Head
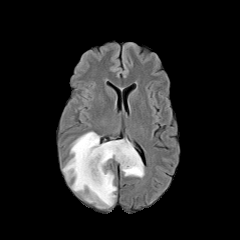
FLAIR magnetic resonance.
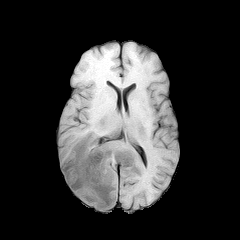
T1-weighted MR image.
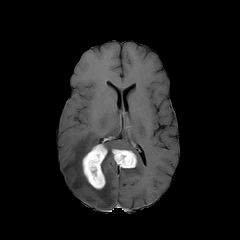
Post-contrast T1-weighted MRI.
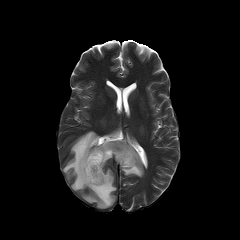
Same slice, T2-weighted magnetic resonance.
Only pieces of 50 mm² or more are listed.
necrotic_tumor_core:
  - rect(89, 158, 98, 176)
  - rect(121, 155, 131, 164)
peritumoral_edema:
  - rect(62, 131, 144, 208)
enhancing_tumor:
  - rect(112, 149, 137, 168)
  - rect(82, 144, 107, 189)